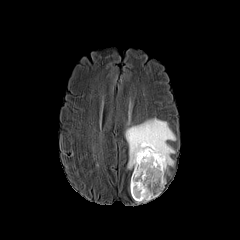
FLAIR MRI.
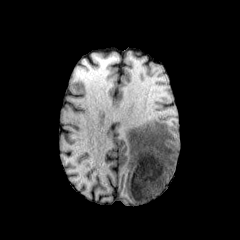
T1-weighted magnetic resonance.
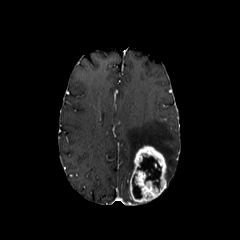
Same slice, post-contrast T1-weighted magnetic resonance.
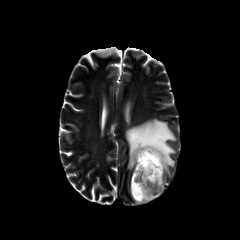
Same slice, T2-weighted MR.
Brain; 240x240
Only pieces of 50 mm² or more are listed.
The largest enhancing tumor region is at (129, 145, 166, 203). 2 necrotic tumor core regions are located at (132, 174, 142, 198), (137, 156, 161, 188). The peritumoral edema is located at (125, 118, 176, 174).